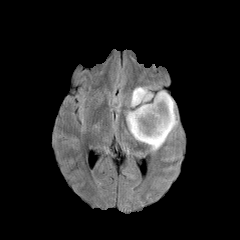
FLAIR MRI.
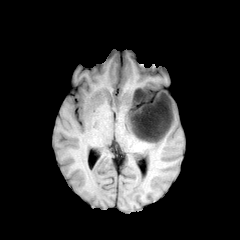
Same slice, T1-weighted MRI.
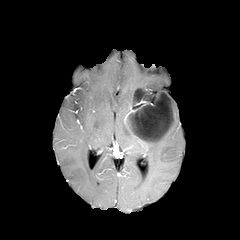
Post-contrast T1-weighted MR image.
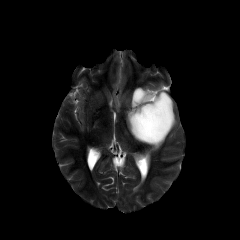
Same slice, T2-weighted MRI.
Axial view
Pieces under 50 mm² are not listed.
The 2 largest peritumoral edema regions are bounded by 130,87,153,107; 126,90,177,151. 2 necrotic tumor core regions are bounded by 131,94,171,140; 135,91,150,101. The 3 largest enhancing tumor regions appear at 135,90,152,103; 130,96,170,141; 159,93,173,124.